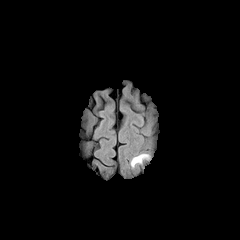
FLAIR MR.
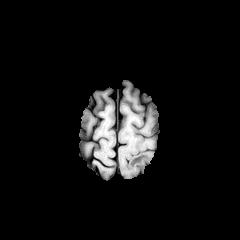
Same slice, T1-weighted magnetic resonance.
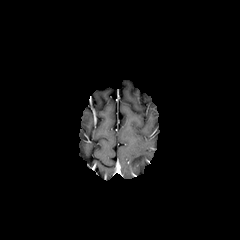
Post-contrast T1-weighted MRI of the same slice.
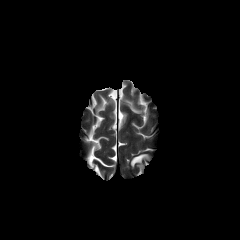
T2-weighted magnetic resonance of the same slice.
Head
The peritumoral edema lies within [130, 154, 149, 167].